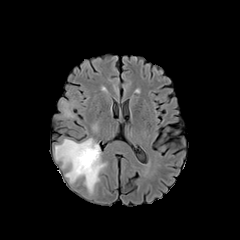
FLAIR MR.
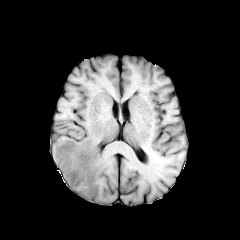
T1-weighted magnetic resonance of the same slice.
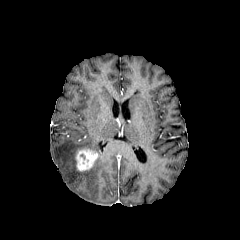
Post-contrast T1-weighted MR image.
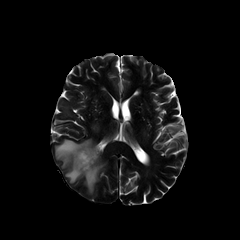
T2-weighted MR image of the same slice.
Image size 240x240. Brain. Axial view.
{
  "enhancing_tumor": [
    "[75,148,98,171]"
  ],
  "peritumoral_edema": [
    "[54,138,105,193]"
  ]
}